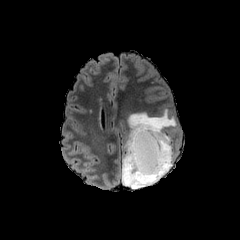
FLAIR MRI.
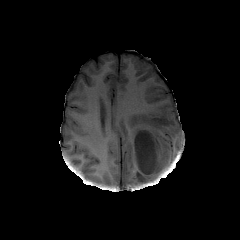
Same slice, T1-weighted MR image.
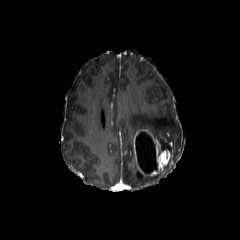
Post-contrast T1-weighted MRI.
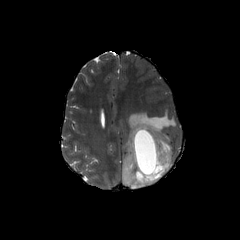
T2-weighted magnetic resonance.
Image size 240x240.
necrotic_tumor_core:
  - <bbox>135, 131, 157, 174</bbox>
enhancing_tumor:
  - <bbox>133, 129, 171, 177</bbox>
peritumoral_edema:
  - <bbox>122, 109, 176, 188</bbox>